Axial slice. Brain.
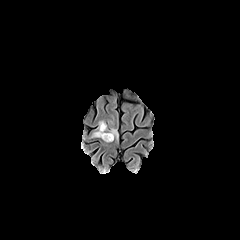
FLAIR MR image.
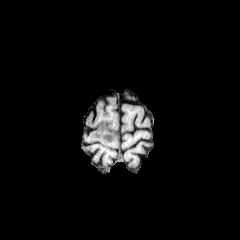
T1-weighted MRI.
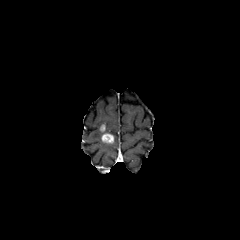
Same slice, post-contrast T1-weighted magnetic resonance.
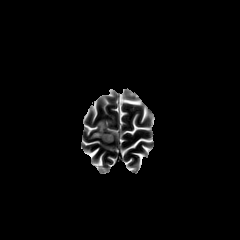
T2-weighted MR image of the same slice.
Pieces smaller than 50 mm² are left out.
peritumoral edema: region(109, 128, 118, 139); region(91, 121, 105, 137)
enhancing tumor: region(101, 133, 113, 143)